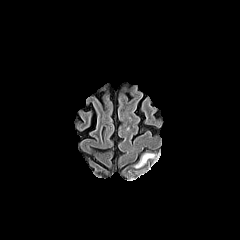
FLAIR MRI.
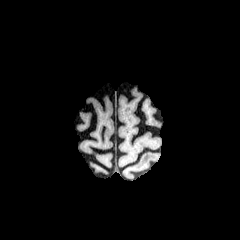
T1-weighted magnetic resonance.
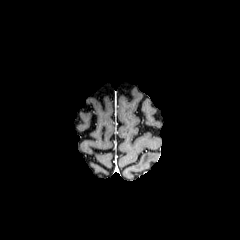
Same slice, post-contrast T1-weighted MR image.
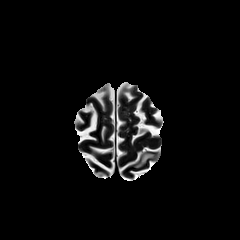
T2-weighted MR of the same slice.
Brain.
peritumoral edema = left=136, top=153, right=155, bottom=167